FLAIR MRI.
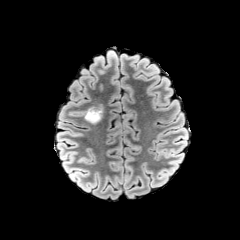
T1-weighted MRI.
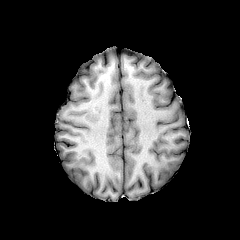
Post-contrast T1-weighted MR.
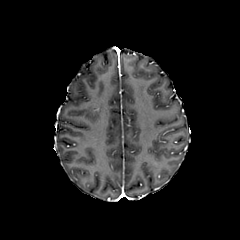
T2-weighted MRI.
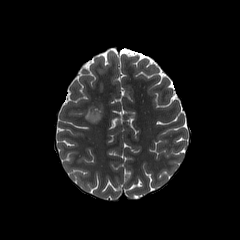
240x240 | Brain
peritumoral edema: 85, 106, 103, 123